Head | Axial view
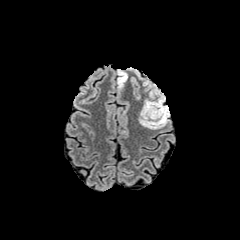
FLAIR MR image.
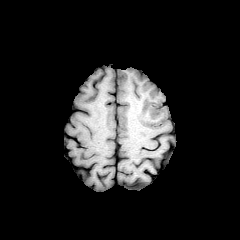
T1-weighted MR.
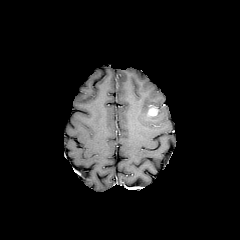
Post-contrast T1-weighted MRI of the same slice.
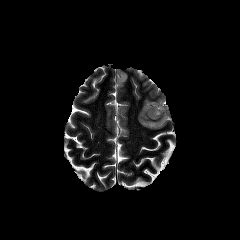
Same slice, T2-weighted magnetic resonance.
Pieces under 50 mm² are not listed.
peritumoral edema at 117 69 127 88, 138 81 170 129
enhancing tumor at 147 105 158 116